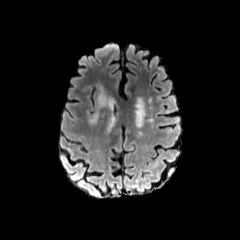
FLAIR MR.
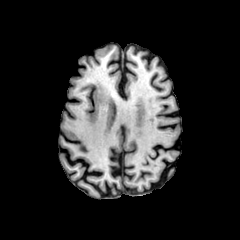
T1-weighted MR image.
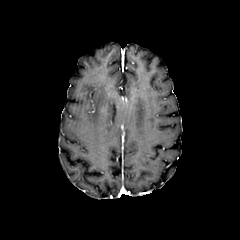
Post-contrast T1-weighted MR image.
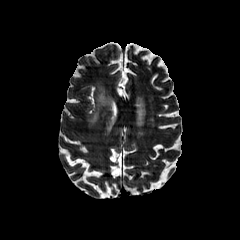
Same slice, T2-weighted magnetic resonance.
240x240. Head.
peritumoral edema: bounding box 90:111:98:122, 96:85:112:108